FLAIR MR image.
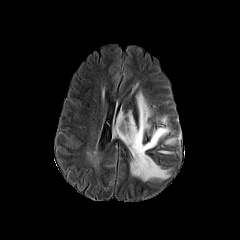
T1-weighted magnetic resonance.
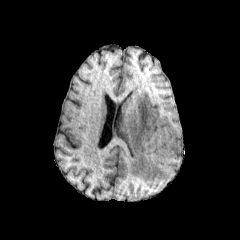
Post-contrast T1-weighted MR.
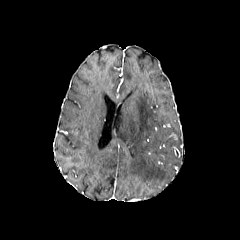
T2-weighted MR image.
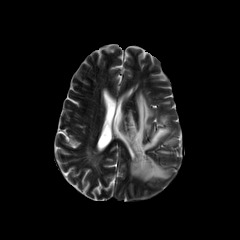
Head.
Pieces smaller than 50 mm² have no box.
The 2 largest peritumoral edema regions appear at <bbox>160, 116, 167, 123</bbox>, <bbox>115, 92, 169, 181</bbox>.